FLAIR magnetic resonance.
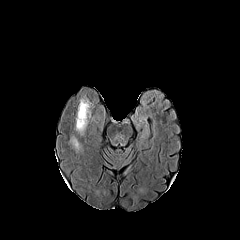
T1-weighted MR image.
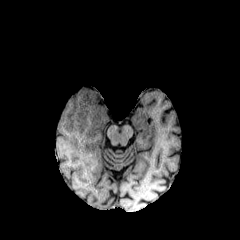
Post-contrast T1-weighted magnetic resonance.
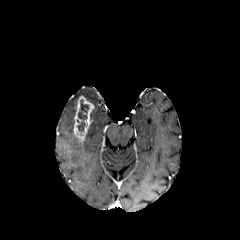
T2-weighted magnetic resonance.
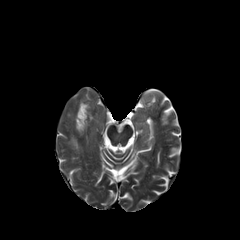
240x240 px; Head
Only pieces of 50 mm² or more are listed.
{"necrotic_tumor_core": ["bbox(77, 100, 88, 130)"], "peritumoral_edema": ["bbox(71, 137, 79, 150)"], "enhancing_tumor": ["bbox(74, 96, 94, 139)"]}